FLAIR MRI.
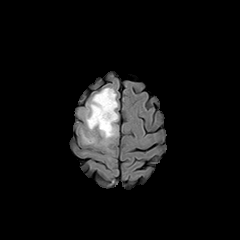
T1-weighted magnetic resonance.
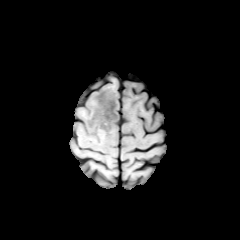
Post-contrast T1-weighted MRI.
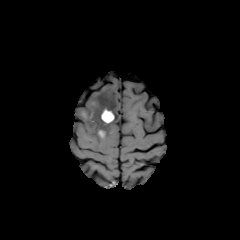
T2-weighted MR image.
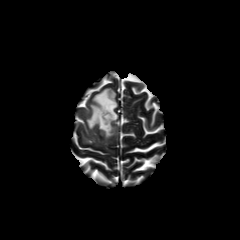
Brain, Axial view
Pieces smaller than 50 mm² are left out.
• enhancing tumor: 101 108 114 123
• peritumoral edema: 81 132 96 143, 85 87 118 145